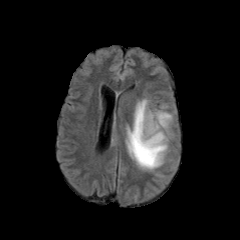
FLAIR MR image.
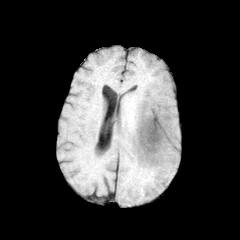
T1-weighted MR.
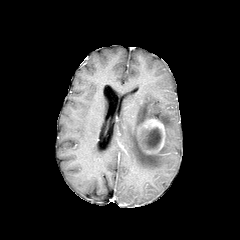
Post-contrast T1-weighted MR image of the same slice.
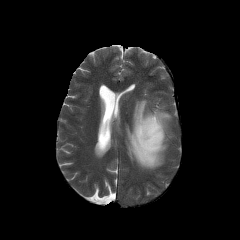
Same slice, T2-weighted MR image.
Axial view.
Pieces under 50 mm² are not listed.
enhancing tumor: [x1=137, y1=117, x2=165, y2=154] | necrotic tumor core: [x1=140, y1=128, x2=161, y2=149] | peritumoral edema: [x1=126, y1=99, x2=172, y2=170]